FLAIR MR image.
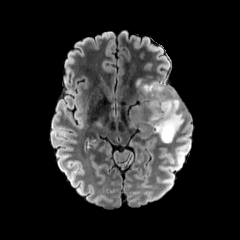
T1-weighted magnetic resonance.
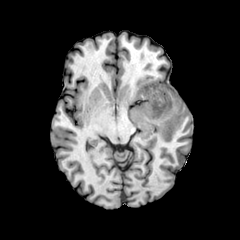
Post-contrast T1-weighted MR image.
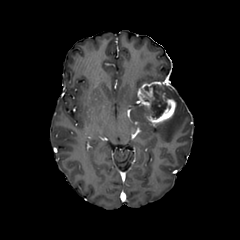
T2-weighted magnetic resonance.
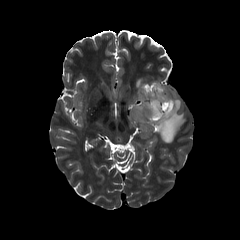
Axial plane. Head.
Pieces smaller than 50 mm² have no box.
{
  "enhancing_tumor": [
    "137:81:176:125"
  ],
  "necrotic_tumor_core": [
    "149:84:167:118"
  ],
  "peritumoral_edema": [
    "134:104:144:114",
    "153:84:183:142"
  ]
}